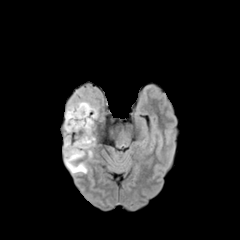
FLAIR MR image.
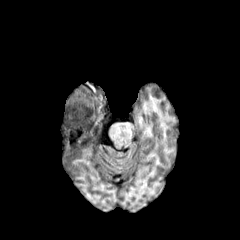
T1-weighted MR image of the same slice.
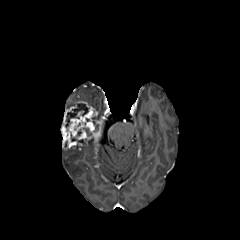
Post-contrast T1-weighted MR image of the same slice.
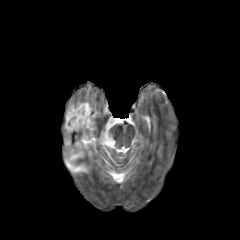
Same slice, T2-weighted MR.
Axial slice, Image size 240x240
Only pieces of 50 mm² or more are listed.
The largest necrotic tumor core region lies within rect(65, 103, 88, 127). The largest peritumoral edema region is located at rect(65, 149, 86, 173). The enhancing tumor is bounded by rect(61, 99, 98, 149).